240x240 px. Slice 105 of 155.
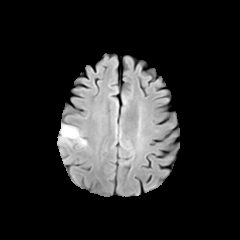
FLAIR MR.
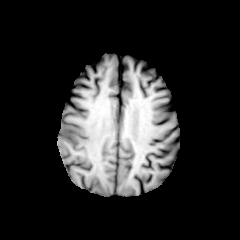
T1-weighted MR of the same slice.
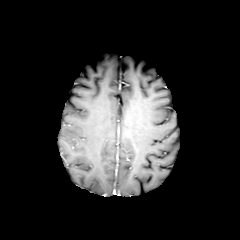
Post-contrast T1-weighted MR image of the same slice.
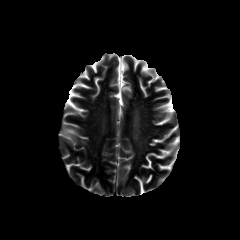
Same slice, T2-weighted MR.
The peritumoral edema is located at {"x1": 59, "y1": 124, "x2": 87, "y2": 147}.